FLAIR MR image.
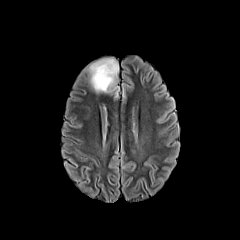
T1-weighted MR image.
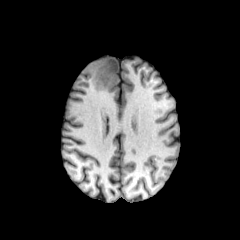
Post-contrast T1-weighted MR image.
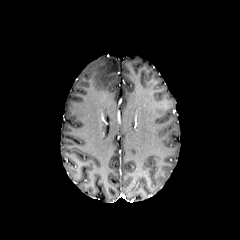
T2-weighted MR.
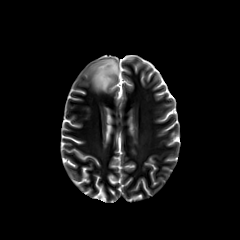
<segmentation>
  <peritumoral_edema>(left=89, top=58, right=118, bottom=92)</peritumoral_edema>
</segmentation>